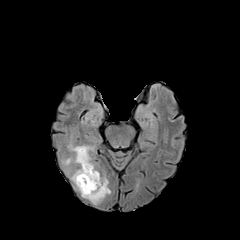
FLAIR MR image.
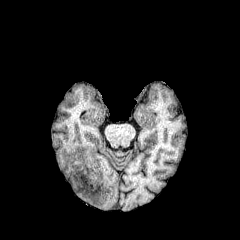
T1-weighted magnetic resonance of the same slice.
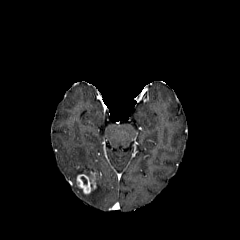
Post-contrast T1-weighted MRI of the same slice.
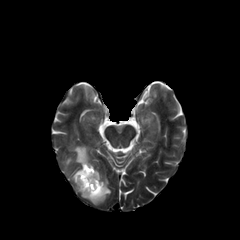
Same slice, T2-weighted magnetic resonance.
Brain
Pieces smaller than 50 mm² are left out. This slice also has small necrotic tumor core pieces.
The enhancing tumor lies within (x1=76, y1=171, x2=96, y2=194). The peritumoral edema lies within (x1=63, y1=142, x2=110, y2=204).